Axial plane. Brain. Slice 91/155. 240x240 px.
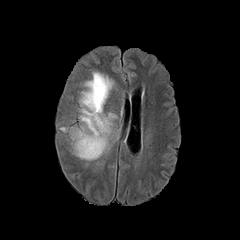
FLAIR MRI.
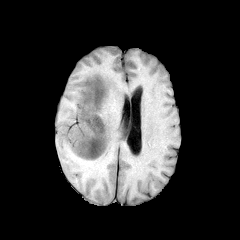
Same slice, T1-weighted MRI.
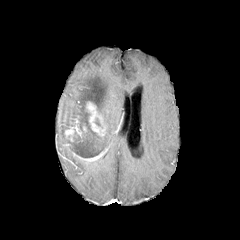
Post-contrast T1-weighted MRI of the same slice.
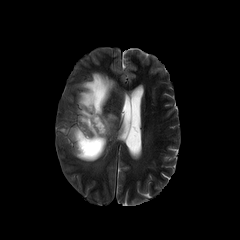
T2-weighted MRI.
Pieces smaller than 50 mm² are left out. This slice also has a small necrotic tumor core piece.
Segmented structures:
- peritumoral edema: [x1=78, y1=72, x2=116, y2=154], [x1=67, y1=135, x2=77, y2=156]
- enhancing tumor: [x1=65, y1=101, x2=106, y2=160]